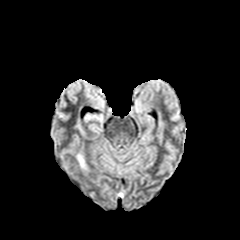
FLAIR MR image.
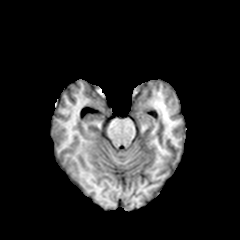
T1-weighted MRI.
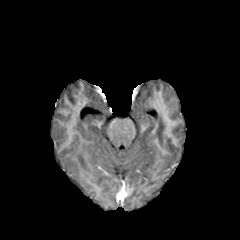
Post-contrast T1-weighted MR of the same slice.
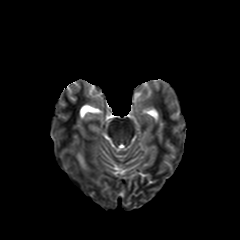
T2-weighted MR.
Axial view, Image size 240x240, Brain
The peritumoral edema is bounded by <box>77,154,84,166</box>.